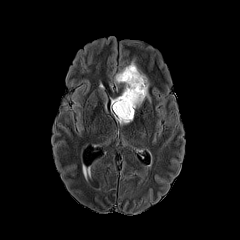
FLAIR MR.
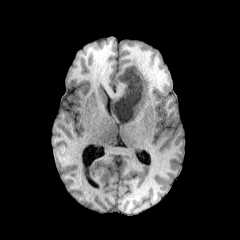
T1-weighted magnetic resonance.
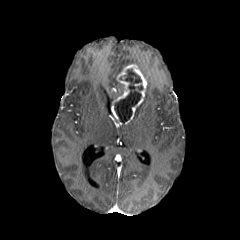
Post-contrast T1-weighted MRI.
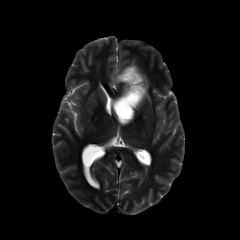
T2-weighted MR image.
Image size 240x240
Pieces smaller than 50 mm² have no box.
{
  "peritumoral_edema": [
    "region(145, 78, 150, 101)"
  ],
  "necrotic_tumor_core": [
    "region(114, 69, 142, 123)"
  ],
  "enhancing_tumor": [
    "region(111, 64, 147, 124)"
  ]
}